FLAIR MR.
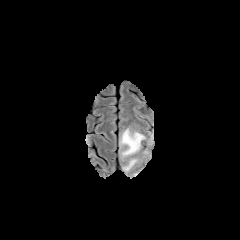
T1-weighted MR image.
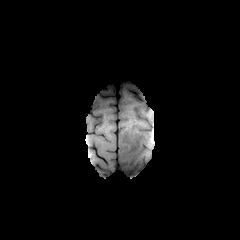
Post-contrast T1-weighted MR.
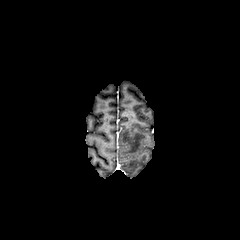
T2-weighted MR image.
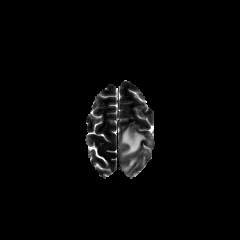
Head
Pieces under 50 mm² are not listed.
peritumoral edema = 120,128,145,157; 123,158,137,171